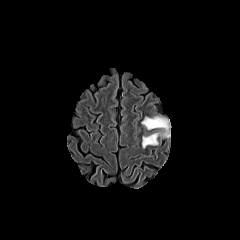
FLAIR MR.
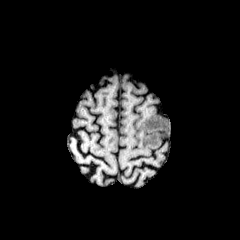
T1-weighted MR image of the same slice.
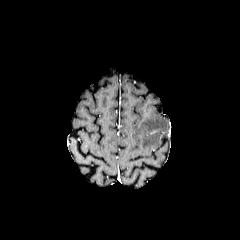
Post-contrast T1-weighted MR.
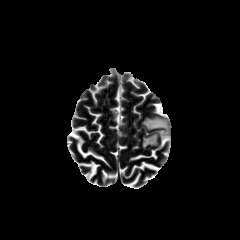
T2-weighted MR of the same slice.
Head
<segmentation>
  <peritumoral_edema>[x1=142, y1=116, x2=169, y2=136], [x1=142, y1=133, x2=160, y2=148]</peritumoral_edema>
</segmentation>